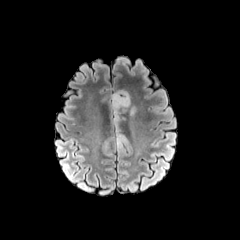
FLAIR magnetic resonance.
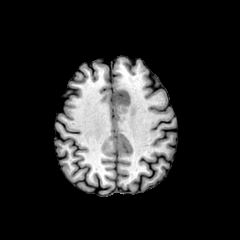
Same slice, T1-weighted MRI.
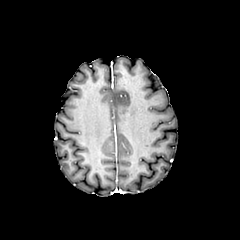
Same slice, post-contrast T1-weighted magnetic resonance.
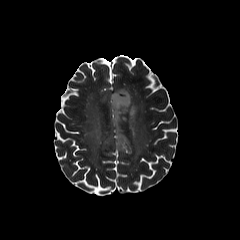
Same slice, T2-weighted MR.
Brain | Axial plane
peritumoral_edema:
  - x1=111 y1=89 x2=135 y2=121